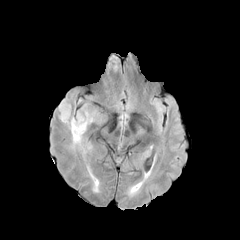
FLAIR MR.
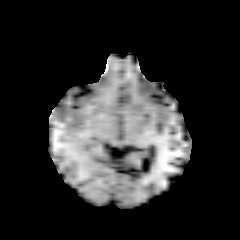
Same slice, T1-weighted MR.
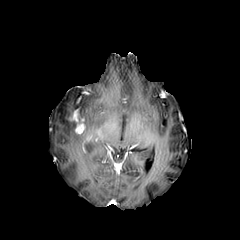
Post-contrast T1-weighted MR image of the same slice.
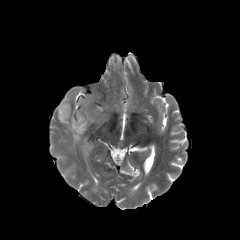
Same slice, T2-weighted MR.
Brain; Image size 240x240
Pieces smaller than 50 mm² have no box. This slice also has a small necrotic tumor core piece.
peritumoral_edema:
  - l=58, t=99, r=93, b=147
enhancing_tumor:
  - l=69, t=110, r=85, b=134